FLAIR MRI.
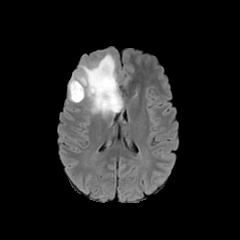
T1-weighted MRI.
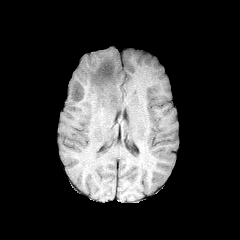
Post-contrast T1-weighted magnetic resonance.
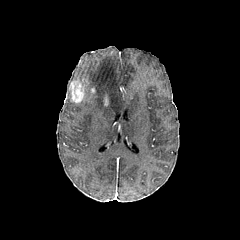
T2-weighted magnetic resonance.
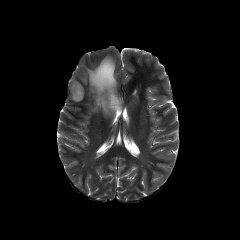
240x240 px | Axial view
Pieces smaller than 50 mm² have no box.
peritumoral edema — <box>75,55,122,114</box>
enhancing tumor — <box>69,80,84,102</box>